Image width 240 mm; Slice 40 of 155; Axial slice
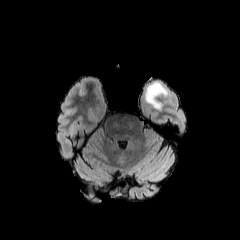
FLAIR MR.
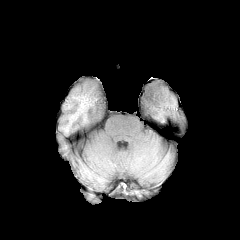
Same slice, T1-weighted magnetic resonance.
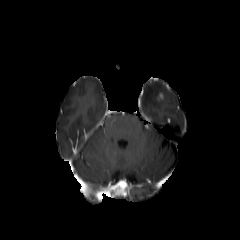
Same slice, post-contrast T1-weighted MRI.
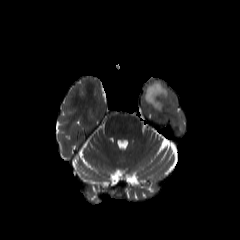
T2-weighted MR.
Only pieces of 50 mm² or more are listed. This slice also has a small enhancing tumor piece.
Findings:
* peritumoral edema: (144,81,171,110)